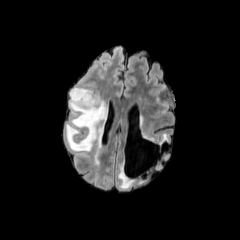
FLAIR MR image.
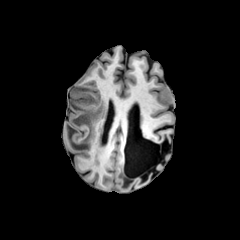
T1-weighted MRI.
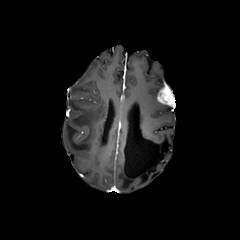
Post-contrast T1-weighted MRI.
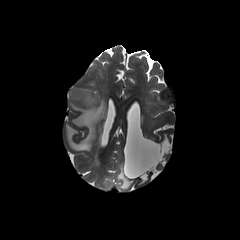
T2-weighted magnetic resonance of the same slice.
Head; Axial slice
The peritumoral edema is located at x1=65 y1=87 x2=107 y2=151.